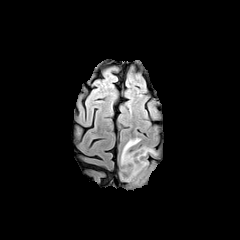
FLAIR MRI.
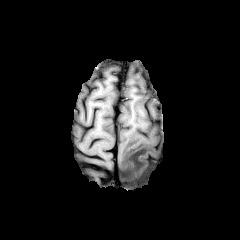
T1-weighted MR.
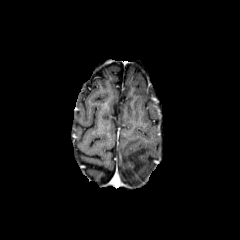
Post-contrast T1-weighted MR.
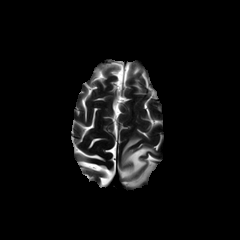
T2-weighted MR image.
Axial plane
The peritumoral edema lies within (x1=120, y1=138, x2=156, y2=185).